Image width 240 mm, 1.00 mm slice spacing; 240x240
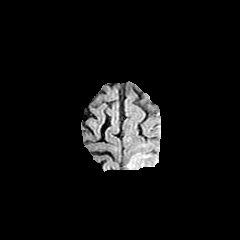
FLAIR MR.
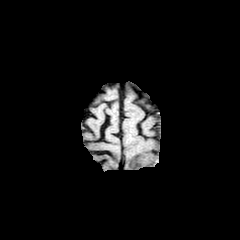
T1-weighted MR image.
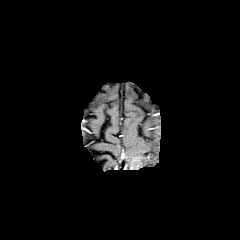
Post-contrast T1-weighted MRI.
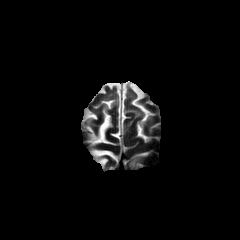
T2-weighted magnetic resonance.
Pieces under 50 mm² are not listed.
peritumoral edema: rect(130, 153, 149, 167) | enhancing tumor: rect(130, 156, 141, 169)